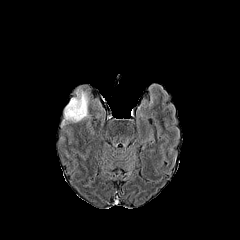
FLAIR MRI.
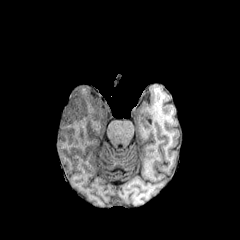
Same slice, T1-weighted MR.
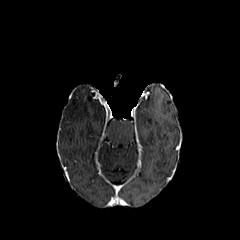
Same slice, post-contrast T1-weighted magnetic resonance.
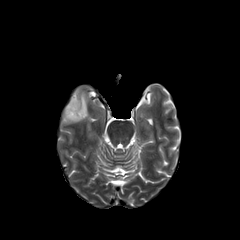
Same slice, T2-weighted MR image.
Annotated regions:
- peritumoral edema: region(63, 89, 89, 123)